Axial view
FLAIR MR.
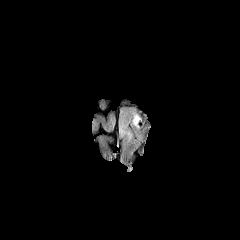
T1-weighted MRI.
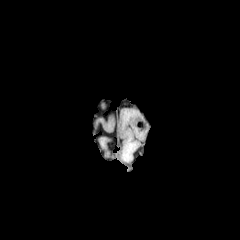
Post-contrast T1-weighted magnetic resonance.
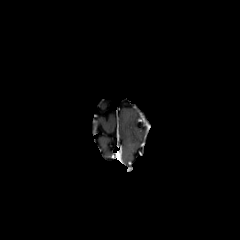
T2-weighted MR image.
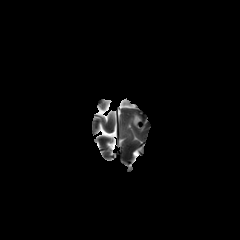
peritumoral_edema:
  - region(120, 127, 131, 140)